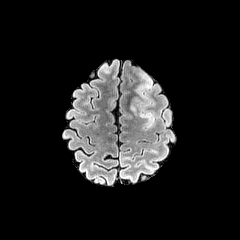
FLAIR magnetic resonance.
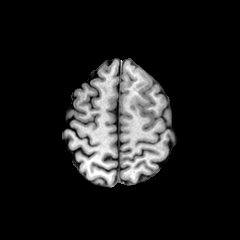
Same slice, T1-weighted magnetic resonance.
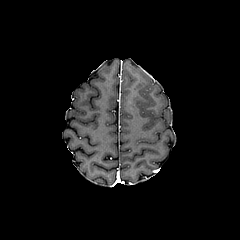
Post-contrast T1-weighted magnetic resonance of the same slice.
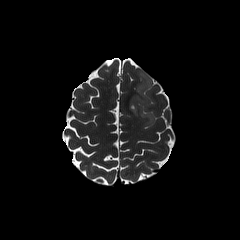
T2-weighted MR image.
240x240.
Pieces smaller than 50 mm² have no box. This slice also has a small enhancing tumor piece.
peritumoral edema: (130,74,155,127)